FLAIR MR image.
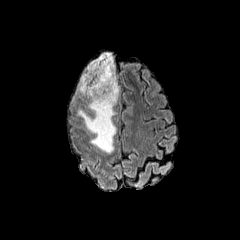
T1-weighted MR.
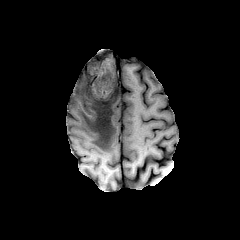
Post-contrast T1-weighted MR.
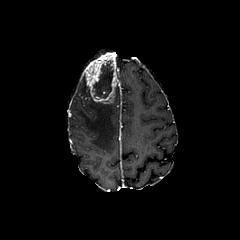
T2-weighted MR.
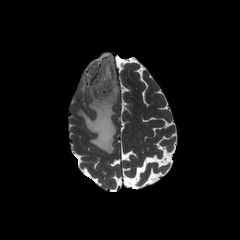
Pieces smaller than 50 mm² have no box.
necrotic tumor core at (92, 60, 113, 98)
peritumoral edema at (82, 52, 111, 75), (77, 78, 119, 153)
enhancing tumor at (83, 54, 118, 104)